FLAIR magnetic resonance.
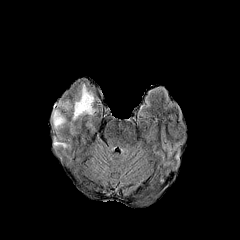
T1-weighted magnetic resonance.
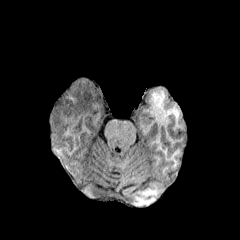
Post-contrast T1-weighted MR.
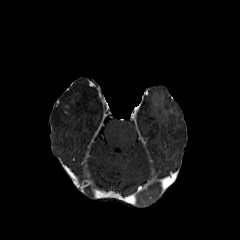
T2-weighted magnetic resonance.
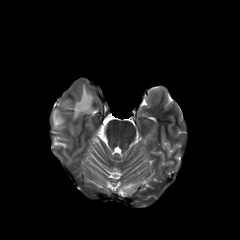
Head.
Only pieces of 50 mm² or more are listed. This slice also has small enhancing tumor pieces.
peritumoral edema: 70,84,94,120; 58,101,69,110; 52,109,65,129; 53,137,67,147